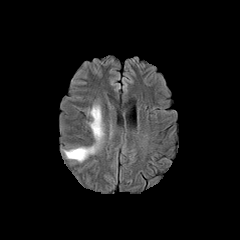
FLAIR magnetic resonance.
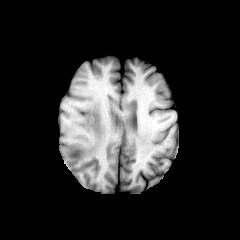
T1-weighted MRI of the same slice.
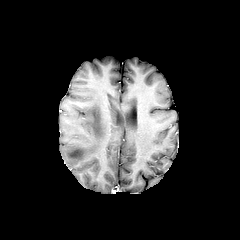
Same slice, post-contrast T1-weighted MR image.
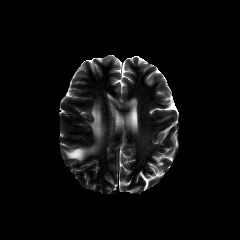
Same slice, T2-weighted MRI.
Head
The peritumoral edema is bounded by box=[64, 105, 104, 161].